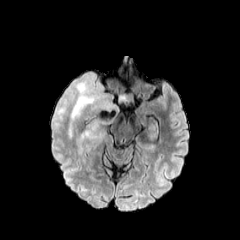
FLAIR MR image.
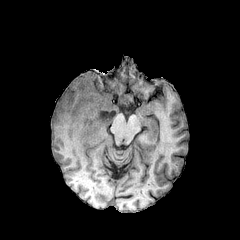
Same slice, T1-weighted MR.
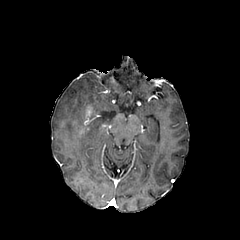
Same slice, post-contrast T1-weighted magnetic resonance.
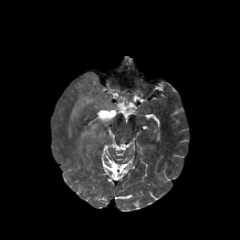
Same slice, T2-weighted magnetic resonance.
240x240 px
- enhancing tumor: <bbox>79, 105, 94, 133</bbox>
- peritumoral edema: <bbox>52, 71, 119, 148</bbox>, <bbox>118, 94, 128, 103</bbox>